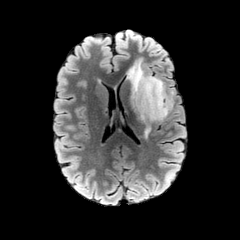
FLAIR MR image.
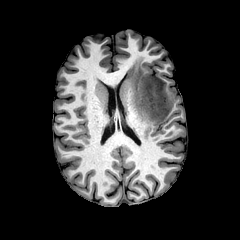
T1-weighted magnetic resonance.
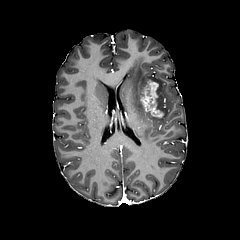
Post-contrast T1-weighted MR of the same slice.
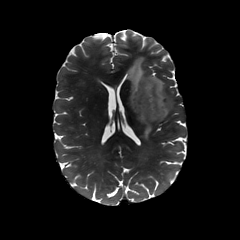
T2-weighted MR of the same slice.
Head; Axial plane
<segmentation>
  <enhancing_tumor>141:80:163:117</enhancing_tumor>
  <peritumoral_edema>127:59:172:138</peritumoral_edema>
</segmentation>